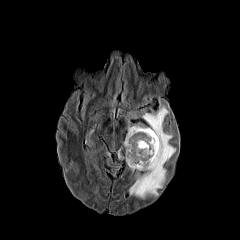
FLAIR MR.
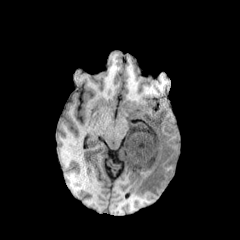
Same slice, T1-weighted MRI.
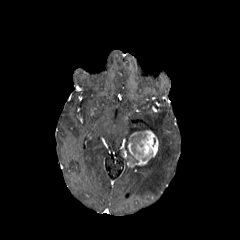
Post-contrast T1-weighted MR image.
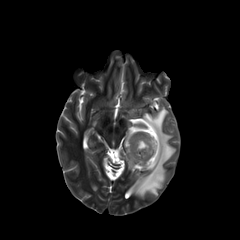
T2-weighted MR.
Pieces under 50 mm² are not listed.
<segmentation>
  <enhancing_tumor>box(125, 130, 158, 167)</enhancing_tumor>
  <peritumoral_edema>box(125, 105, 176, 198)</peritumoral_edema>
</segmentation>